Image size 240x240, Slice 49/155
FLAIR magnetic resonance.
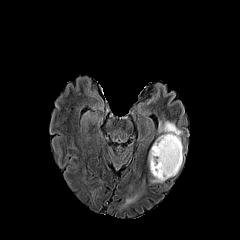
T1-weighted MR.
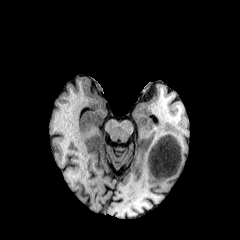
Post-contrast T1-weighted magnetic resonance.
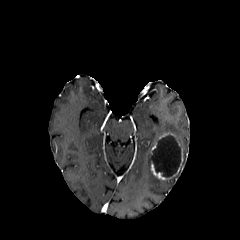
T2-weighted MRI.
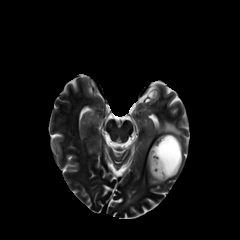
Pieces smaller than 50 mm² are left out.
Annotated regions:
* peritumoral edema: <box>124,194,137,205</box>, <box>158,121,182,147</box>, <box>148,154,164,183</box>
* enhancing tumor: <box>158,132,175,139</box>, <box>151,147,182,180</box>
* necrotic tumor core: <box>151,135,181,177</box>